FLAIR MRI.
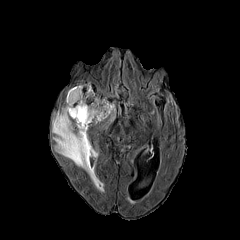
T1-weighted MR.
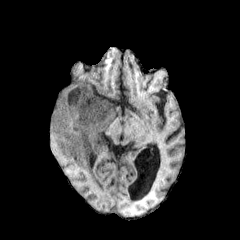
Post-contrast T1-weighted magnetic resonance.
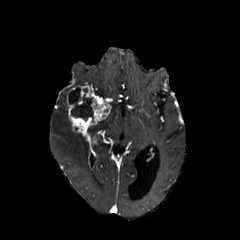
T2-weighted MR.
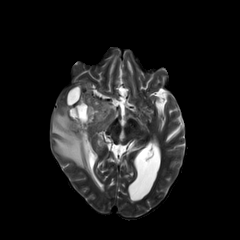
Head | 240x240
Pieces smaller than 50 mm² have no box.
The enhancing tumor is bounded by rect(66, 84, 111, 155). The 2 largest peritumoral edema regions are bounded by rect(52, 103, 99, 184); rect(109, 104, 115, 121). The largest necrotic tumor core region is located at rect(68, 87, 93, 120).